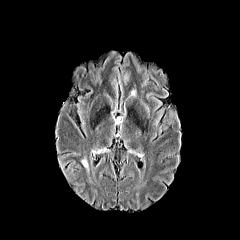
FLAIR MR.
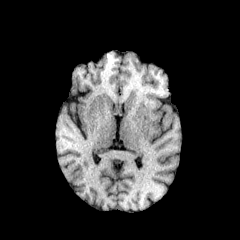
Same slice, T1-weighted MR image.
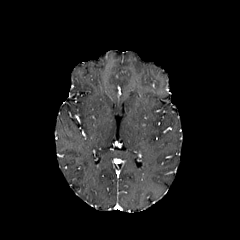
Post-contrast T1-weighted MR image.
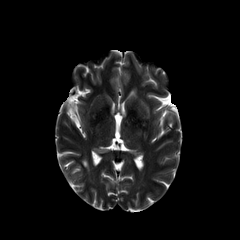
Same slice, T2-weighted MR.
Head
Annotated regions:
• peritumoral edema: [124, 71, 130, 84], [138, 99, 150, 117], [130, 87, 137, 96], [79, 156, 88, 171]